Axial slice, Image size 240x240, Brain, Slice 46/155
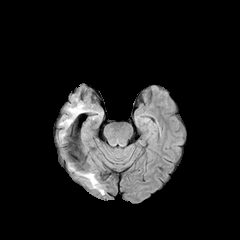
FLAIR MRI.
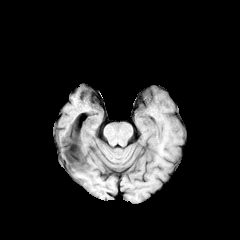
T1-weighted magnetic resonance.
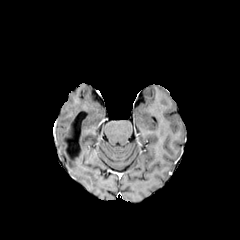
Same slice, post-contrast T1-weighted MR image.
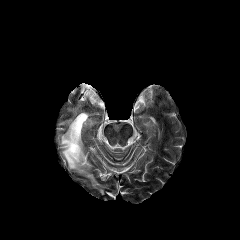
T2-weighted MR image.
peritumoral edema: 81 173 103 193